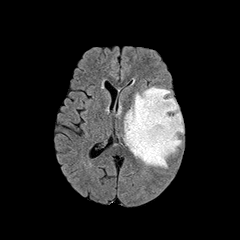
FLAIR MR image.
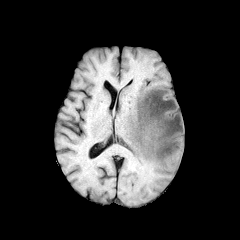
T1-weighted MR image.
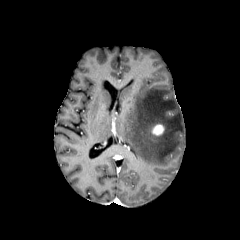
Same slice, post-contrast T1-weighted MRI.
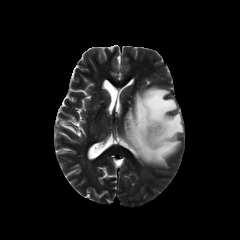
T2-weighted MRI of the same slice.
Image size 240x240.
Segmented structures:
* enhancing tumor: l=151, t=124, r=164, b=136
* peritumoral edema: l=124, t=86, r=183, b=167